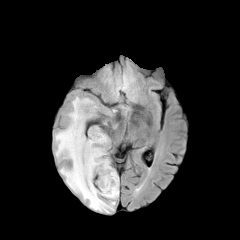
FLAIR MR.
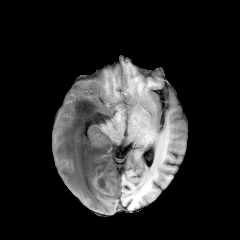
T1-weighted MR image of the same slice.
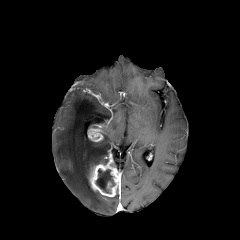
Post-contrast T1-weighted MR image.
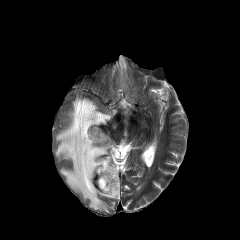
T2-weighted MR.
Brain. Axial slice.
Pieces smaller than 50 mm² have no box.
The largest peritumoral edema region is at [54,94,118,213]. 2 enhancing tumor regions appear at [88,151,120,197], [87,124,103,141]. The necrotic tumor core lies within [96,169,114,192].